FLAIR MR image.
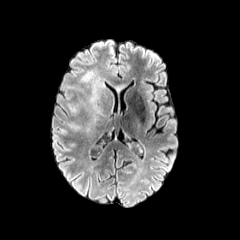
T1-weighted magnetic resonance.
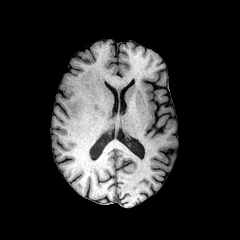
Post-contrast T1-weighted MR.
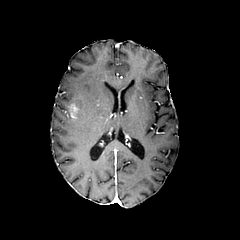
T2-weighted magnetic resonance.
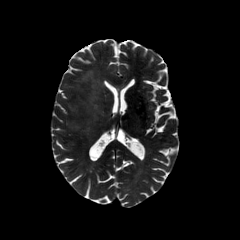
Axial plane | Brain
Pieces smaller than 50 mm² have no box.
The enhancing tumor is bounded by [x1=68, y1=103, x2=79, y2=118]. The largest peritumoral edema region is located at [x1=64, y1=71, x2=104, y2=133].